FLAIR MRI.
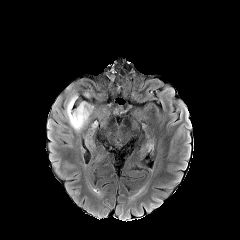
T1-weighted MRI.
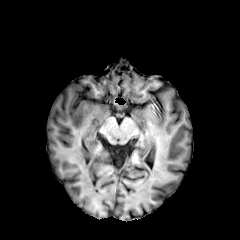
Post-contrast T1-weighted MR image.
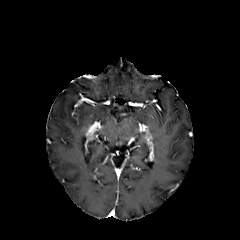
T2-weighted MRI.
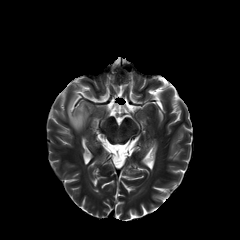
240x240 px
Annotated regions:
- peritumoral edema: bbox=[66, 95, 93, 131]